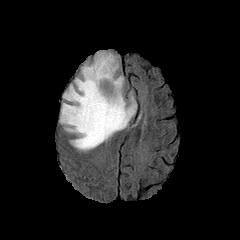
FLAIR MRI.
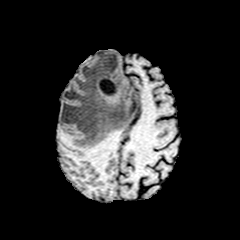
Same slice, T1-weighted MR.
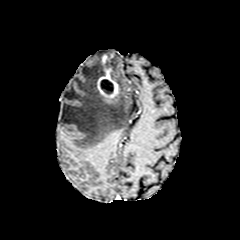
Same slice, post-contrast T1-weighted MRI.
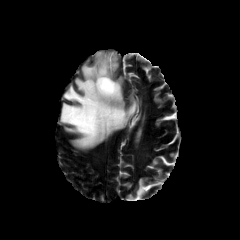
T2-weighted magnetic resonance of the same slice.
Axial plane.
enhancing tumor: [x1=97, y1=53, x2=119, y2=98] | necrotic tumor core: [x1=100, y1=79, x2=113, y2=94] | peritumoral edema: [x1=59, y1=51, x2=136, y2=150]